FLAIR magnetic resonance.
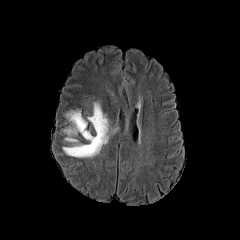
T1-weighted magnetic resonance.
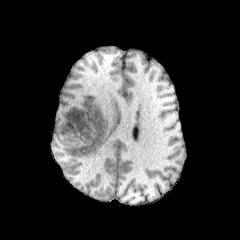
Post-contrast T1-weighted MR.
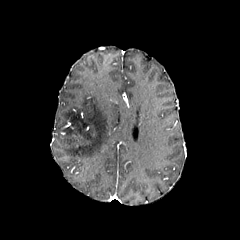
T2-weighted magnetic resonance.
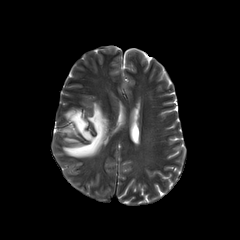
240x240 px
peritumoral edema: region(63, 102, 108, 157)